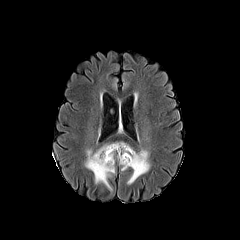
FLAIR MR.
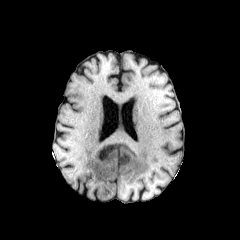
T1-weighted MRI.
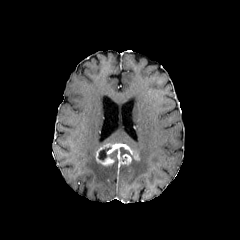
Same slice, post-contrast T1-weighted magnetic resonance.
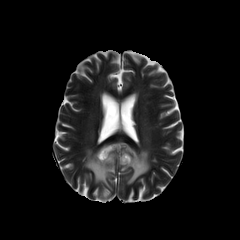
Same slice, T2-weighted magnetic resonance.
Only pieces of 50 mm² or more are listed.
peritumoral edema = (121,148,150,184), (85,149,115,190)
enhancing tumor = (95,142,139,165), (120,151,131,165)
necrotic tumor core = (98,147,110,160)